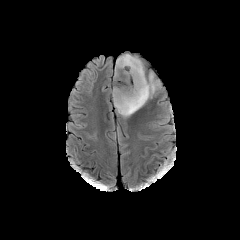
FLAIR MR.
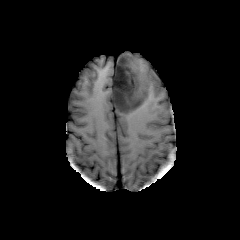
T1-weighted MR image.
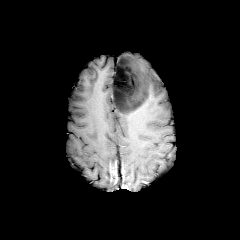
Post-contrast T1-weighted MRI.
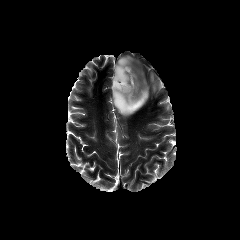
Same slice, T2-weighted MR image.
Axial slice
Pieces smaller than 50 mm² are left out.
necrotic tumor core: 113:57:147:111 | peritumoral edema: 116:54:160:101, 113:99:142:117